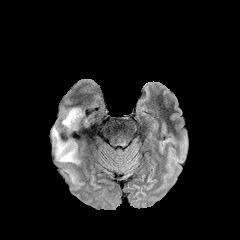
FLAIR MR image.
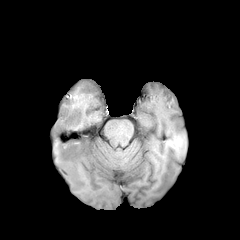
Same slice, T1-weighted MR.
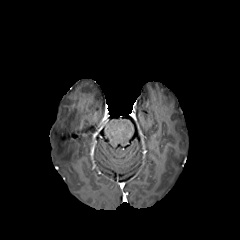
Same slice, post-contrast T1-weighted MR image.
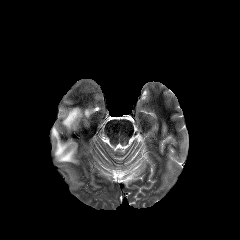
Same slice, T2-weighted MR.
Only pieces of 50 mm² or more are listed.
Annotated regions:
• peritumoral edema: l=52, t=127, r=77, b=163; l=62, t=108, r=82, b=128